Head, Axial view, Slice index 72
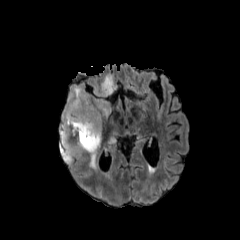
FLAIR magnetic resonance.
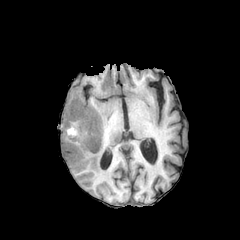
T1-weighted MR image.
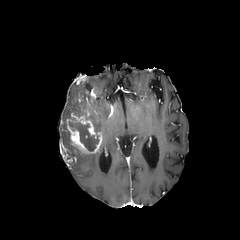
Post-contrast T1-weighted MR image.
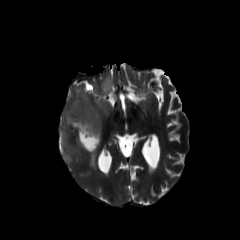
T2-weighted MR.
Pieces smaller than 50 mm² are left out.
enhancing tumor: 59,94,102,164
peritumoral edema: 92,74,120,97; 63,84,121,123; 89,148,102,170; 108,130,119,148
necrotic tumor core: 67,121,98,150; 86,116,99,132